FLAIR magnetic resonance.
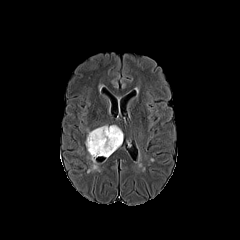
T1-weighted MR image.
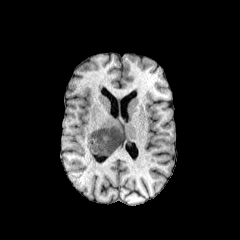
Post-contrast T1-weighted MRI.
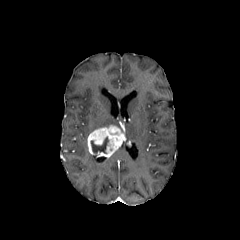
T2-weighted MRI.
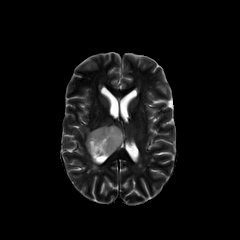
Head, Axial slice
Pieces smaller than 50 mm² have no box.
The enhancing tumor lies within [87, 125, 124, 157]. The largest peritumoral edema region is bounded by [87, 153, 99, 172]. The largest necrotic tumor core region is located at [91, 137, 108, 153].